FLAIR MRI.
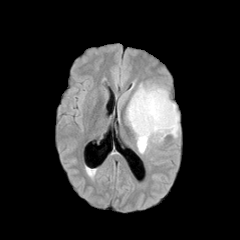
T1-weighted MR image.
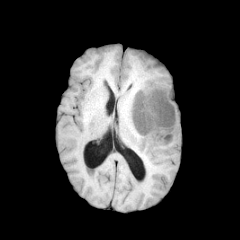
Post-contrast T1-weighted MRI.
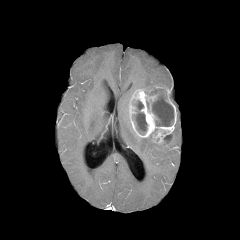
T2-weighted MR.
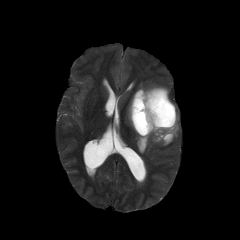
Image size 240x240, Axial plane
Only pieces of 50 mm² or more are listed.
necrotic tumor core: 134:101:146:134, 152:96:173:126, 149:89:165:94 | enhancing tumor: 129:86:177:143 | peritumoral edema: 136:134:152:153, 126:105:133:130, 138:84:164:89, 172:113:179:137